FLAIR magnetic resonance.
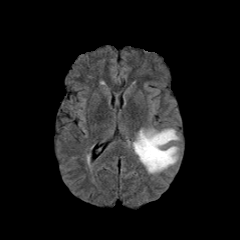
T1-weighted MRI.
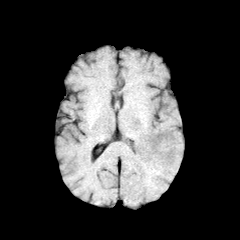
Post-contrast T1-weighted MRI.
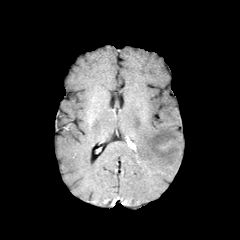
T2-weighted MR.
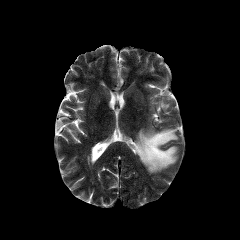
240x240. Brain.
peritumoral edema: [134,128,178,173]